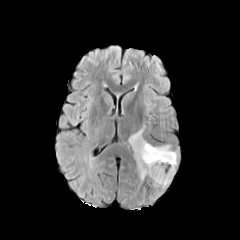
FLAIR MR.
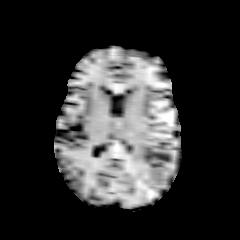
T1-weighted MR.
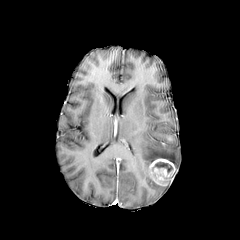
Post-contrast T1-weighted MR.
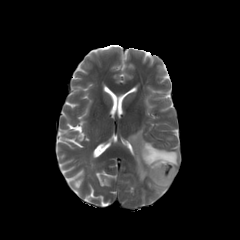
T2-weighted magnetic resonance.
Axial plane.
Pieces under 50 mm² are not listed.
<segmentation>
  <enhancing_tumor><bbox>148, 158, 176, 185</bbox></enhancing_tumor>
  <necrotic_tumor_core><bbox>155, 162, 172, 172</bbox></necrotic_tumor_core>
  <peritumoral_edema><bbox>129, 126, 177, 179</bbox></peritumoral_edema>
</segmentation>